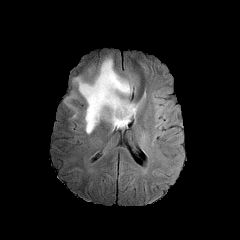
FLAIR MR image.
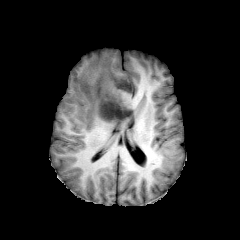
T1-weighted MR image.
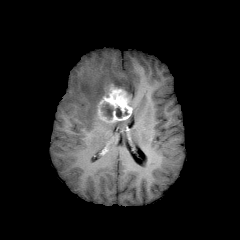
Post-contrast T1-weighted MR image.
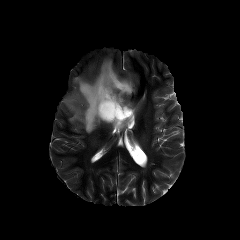
T2-weighted MR.
Brain
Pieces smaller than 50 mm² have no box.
peritumoral edema — box(108, 100, 138, 128); box(73, 58, 132, 133); box(64, 92, 78, 118)
enhancing tumor — box(97, 84, 132, 123)
necrotic tumor core — box(116, 107, 128, 117); box(102, 104, 112, 118)